Slice index 66 | Axial plane
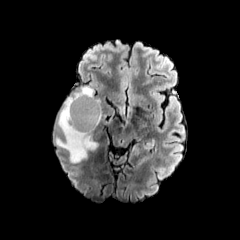
FLAIR MRI.
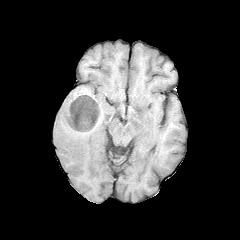
Same slice, T1-weighted MRI.
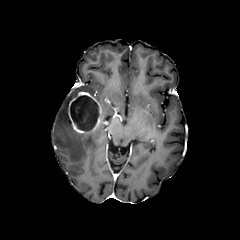
Post-contrast T1-weighted MR image of the same slice.
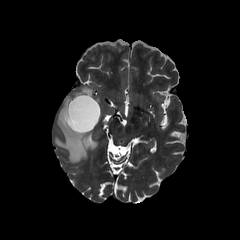
T2-weighted magnetic resonance.
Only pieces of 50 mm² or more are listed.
enhancing tumor: bounding box rect(68, 91, 102, 133)
peritumoral edema: bounding box rect(55, 86, 99, 163)
necrotic tumor core: bounding box rect(70, 95, 99, 130)